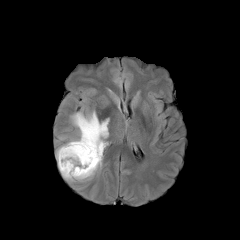
FLAIR MR image.
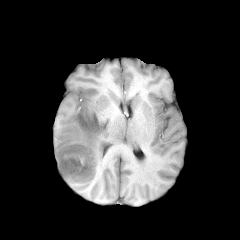
T1-weighted MR image of the same slice.
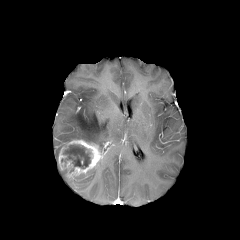
Post-contrast T1-weighted MRI.
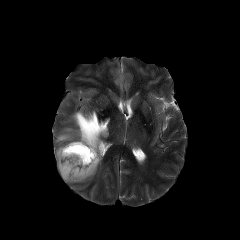
T2-weighted magnetic resonance of the same slice.
Axial view
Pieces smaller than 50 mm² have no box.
peritumoral edema: bounding box (x1=55, y1=143, x2=66, y2=162), (x1=58, y1=111, x2=109, y2=153), (x1=60, y1=158, x2=102, y2=182)
enhancing tumor: bounding box (x1=58, y1=139, x2=102, y2=178)
necrotic tumor core: bounding box (x1=61, y1=144, x2=90, y2=168)